Axial view, Brain, 240x240 px
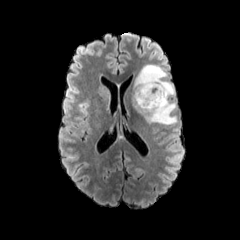
FLAIR MR.
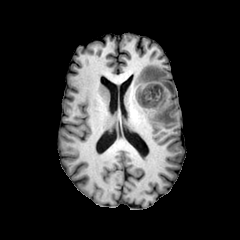
Same slice, T1-weighted MR image.
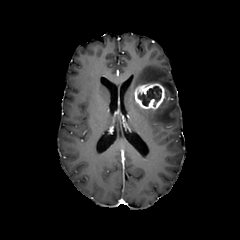
Post-contrast T1-weighted MR.
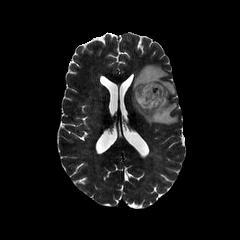
T2-weighted MR image.
The enhancing tumor appears at l=134, t=83, r=165, b=109. The peritumoral edema appears at l=132, t=65, r=176, b=125. The necrotic tumor core is located at l=137, t=86, r=161, b=106.